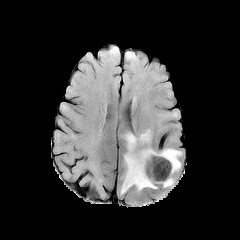
FLAIR MRI.
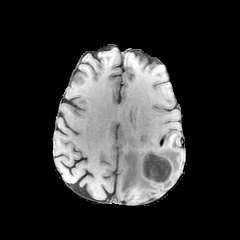
Same slice, T1-weighted magnetic resonance.
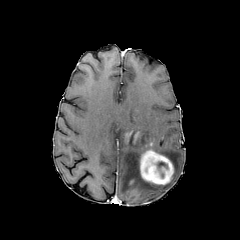
Post-contrast T1-weighted MR.
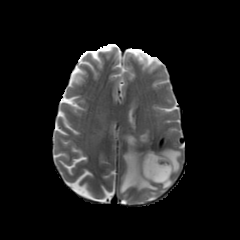
T2-weighted magnetic resonance.
Axial plane.
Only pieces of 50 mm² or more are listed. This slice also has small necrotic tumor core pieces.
3 peritumoral edema regions are located at [163,175,174,188], [156,148,181,172], [120,130,157,193]. The largest enhancing tumor region lies within [140,150,173,184].